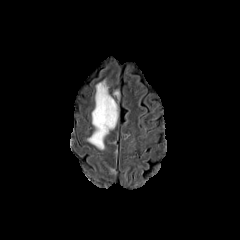
FLAIR MR image.
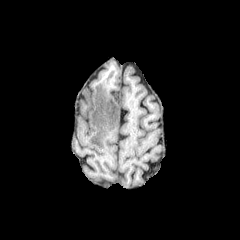
Same slice, T1-weighted MRI.
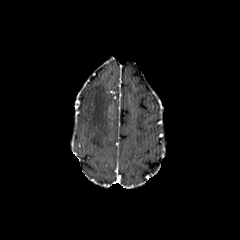
Post-contrast T1-weighted MRI.
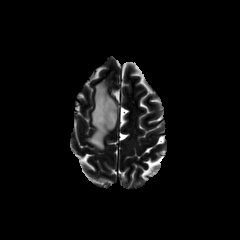
T2-weighted MR image.
Brain
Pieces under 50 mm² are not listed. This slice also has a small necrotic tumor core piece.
The largest enhancing tumor region is at 108, 103, 114, 119. The largest peritumoral edema region appears at 87, 81, 118, 149.